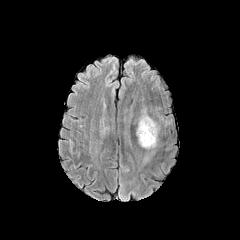
FLAIR MR.
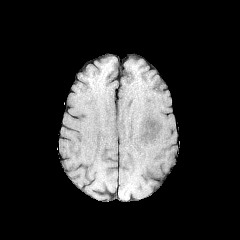
T1-weighted MR of the same slice.
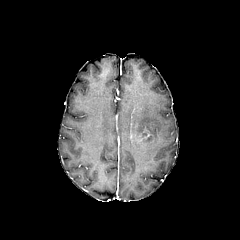
Post-contrast T1-weighted magnetic resonance.
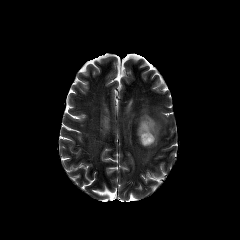
Same slice, T2-weighted magnetic resonance.
Head, 240x240 px
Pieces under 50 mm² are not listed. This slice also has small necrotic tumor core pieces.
{
  "enhancing_tumor": [
    "l=139, t=126, r=153, b=144"
  ],
  "peritumoral_edema": [
    "l=136, t=108, r=160, b=148"
  ]
}